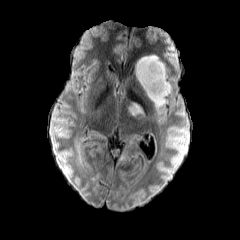
FLAIR MR image.
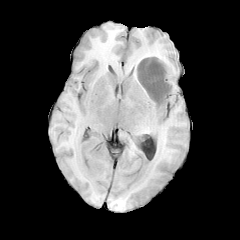
T1-weighted MR image.
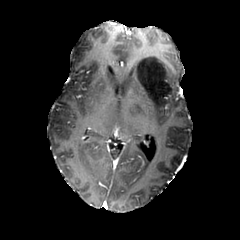
Post-contrast T1-weighted MRI.
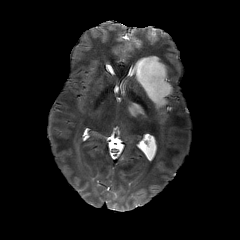
T2-weighted MRI of the same slice.
Image size 240x240. Brain.
peritumoral edema — x1=135 y1=55 x2=171 y2=107, x1=128 y1=100 x2=143 y2=115